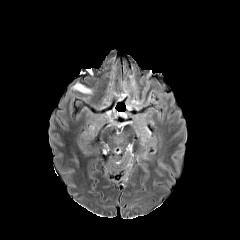
FLAIR MRI.
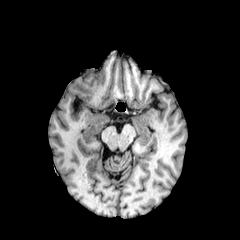
T1-weighted MRI.
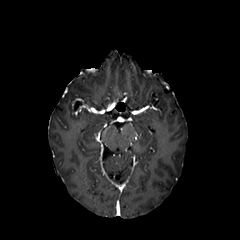
Same slice, post-contrast T1-weighted MR image.
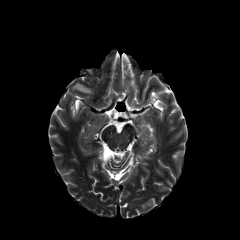
T2-weighted MR image.
The peritumoral edema is at (left=73, top=83, right=91, bottom=93).